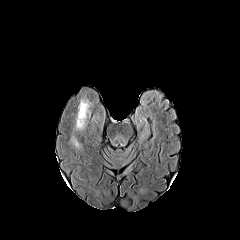
FLAIR MRI.
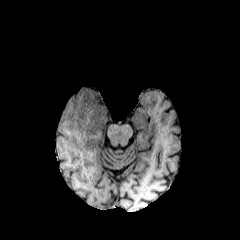
Same slice, T1-weighted MR image.
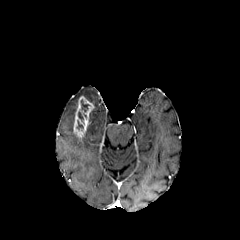
Post-contrast T1-weighted MRI of the same slice.
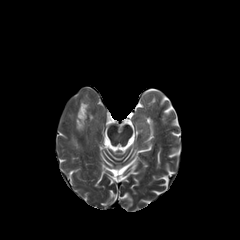
T2-weighted magnetic resonance of the same slice.
240x240 px, Head
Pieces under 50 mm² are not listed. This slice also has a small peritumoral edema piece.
Segmented structures:
- necrotic tumor core: [81, 100, 88, 111]
- enhancing tumor: [74, 96, 94, 137]